Slice index 128. Image width 240 mm, 1.00 mm slice spacing. 240x240 px.
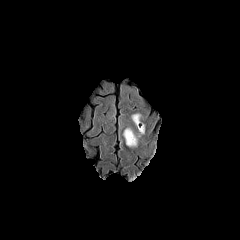
FLAIR magnetic resonance.
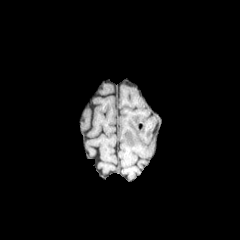
T1-weighted MRI.
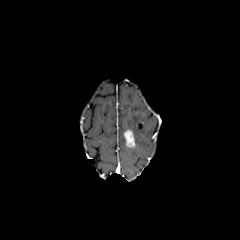
Same slice, post-contrast T1-weighted MR.
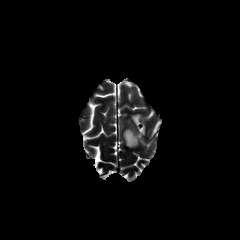
T2-weighted MR image.
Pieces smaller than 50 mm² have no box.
{"enhancing_tumor": ["<box>124,130,135,147</box>"], "peritumoral_edema": ["<box>124,127,141,146</box>"]}